Brain | 240x240 px | Slice 35 of 155
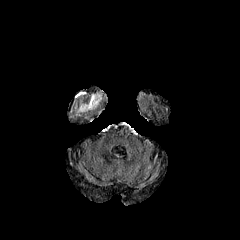
FLAIR MR image.
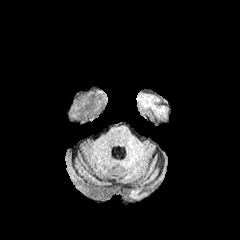
Same slice, T1-weighted MRI.
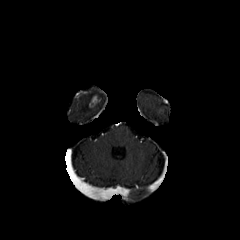
Post-contrast T1-weighted MRI.
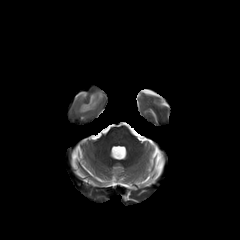
Same slice, T2-weighted MR image.
{
  "peritumoral_edema": [
    "[89,92,102,102]",
    "[75,100,98,115]"
  ],
  "enhancing_tumor": [
    "[89,95,100,107]"
  ]
}